240x240, Head
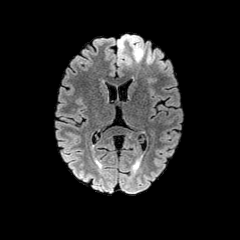
FLAIR MRI.
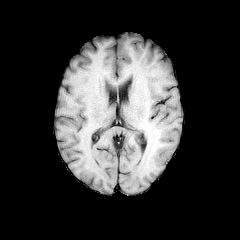
T1-weighted MR.
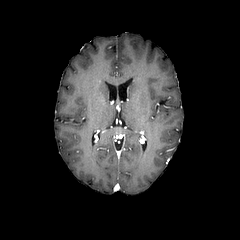
Post-contrast T1-weighted MR image.
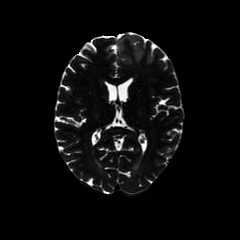
T2-weighted MRI.
peritumoral edema: [117, 34, 144, 64]